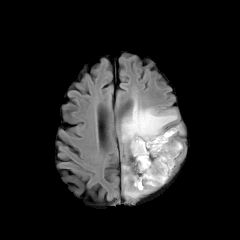
FLAIR MRI.
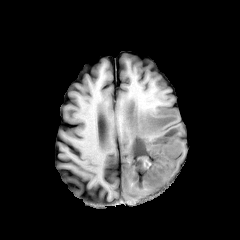
T1-weighted MR.
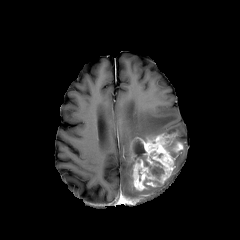
Same slice, post-contrast T1-weighted MR image.
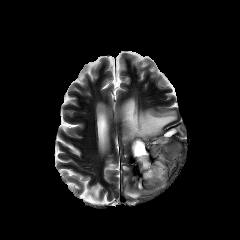
T2-weighted MRI of the same slice.
Axial plane
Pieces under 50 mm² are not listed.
enhancing_tumor:
  - x1=131, y1=132, x2=183, y2=190
necrotic_tumor_core:
  - x1=133, y1=141, x2=151, y2=168
  - x1=151, y1=166, x2=163, y2=177
peritumoral_edema:
  - x1=121, y1=101, x2=182, y2=155
  - x1=123, y1=174, x2=154, y2=199